Axial slice, Slice 55 of 155, Head, 240x240
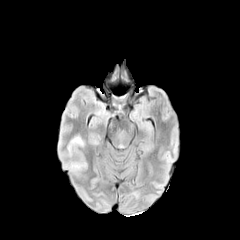
FLAIR magnetic resonance.
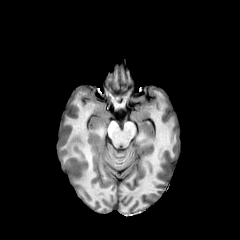
T1-weighted MRI.
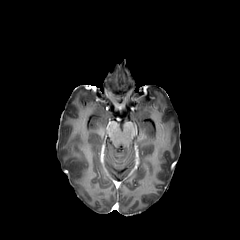
Post-contrast T1-weighted MR of the same slice.
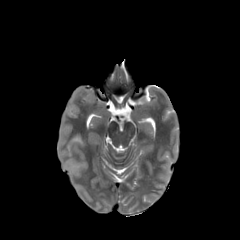
T2-weighted MR.
- peritumoral edema: 68,163,82,171; 67,135,83,155